Slice 119/155. Brain.
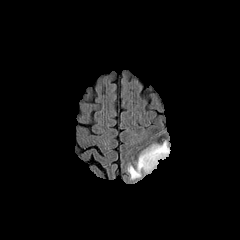
FLAIR MR image.
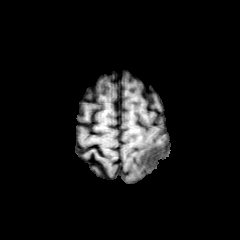
T1-weighted MR image.
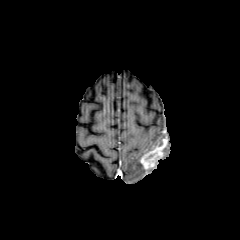
Post-contrast T1-weighted MR.
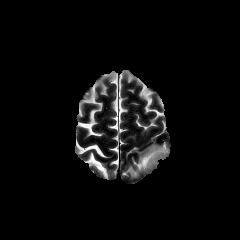
Same slice, T2-weighted magnetic resonance.
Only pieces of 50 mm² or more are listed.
enhancing tumor: box(140, 140, 168, 171) | peritumoral edema: box(128, 144, 156, 179)